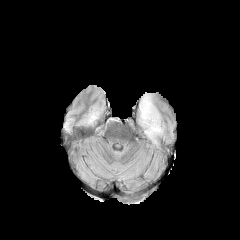
FLAIR MR.
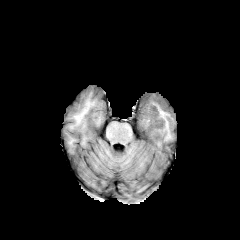
Same slice, T1-weighted MR.
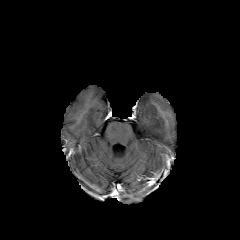
Same slice, post-contrast T1-weighted MR.
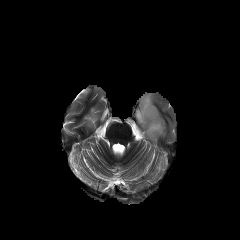
T2-weighted MRI of the same slice.
Axial slice; 240x240
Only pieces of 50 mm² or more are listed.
Annotated regions:
- peritumoral edema: (138, 94, 164, 145)